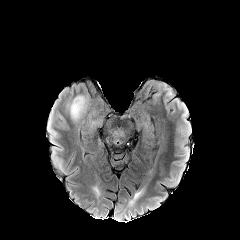
FLAIR MR image.
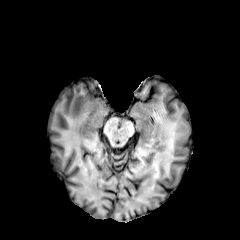
Same slice, T1-weighted MR.
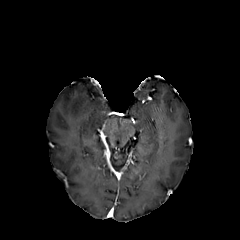
Same slice, post-contrast T1-weighted magnetic resonance.
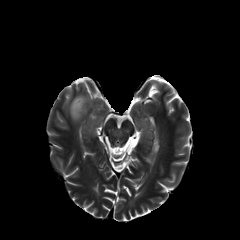
T2-weighted MRI.
240x240. Axial view.
peritumoral edema: bounding box 70:96:86:120